FLAIR MRI.
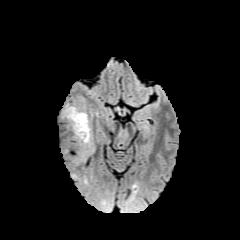
T1-weighted MR image.
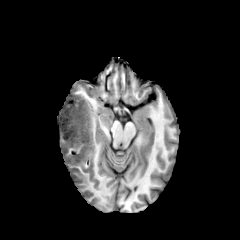
Post-contrast T1-weighted magnetic resonance.
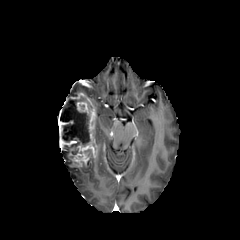
T2-weighted MRI.
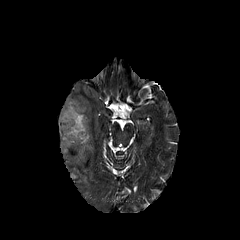
240x240, Brain
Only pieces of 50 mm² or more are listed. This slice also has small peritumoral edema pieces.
The largest enhancing tumor region is at (x1=58, y1=92, x2=97, y2=167). The largest necrotic tumor core region is located at (x1=60, y1=96, x2=90, y2=154).